Slice 55/155; Axial view
FLAIR MRI.
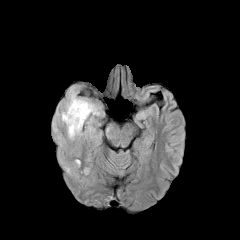
T1-weighted MR image.
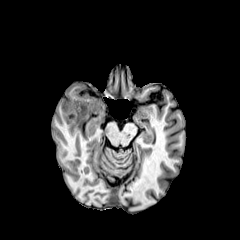
Post-contrast T1-weighted MRI.
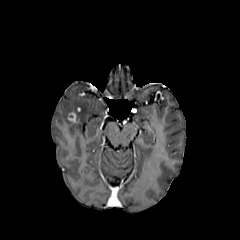
T2-weighted MR.
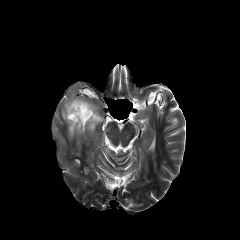
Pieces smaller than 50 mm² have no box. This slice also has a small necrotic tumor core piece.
peritumoral edema — 61 88 100 139
enhancing tumor — 68 111 78 122